Slice 47/155, Brain
FLAIR MR.
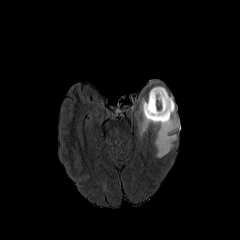
T1-weighted MR.
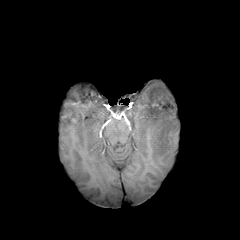
Post-contrast T1-weighted MR.
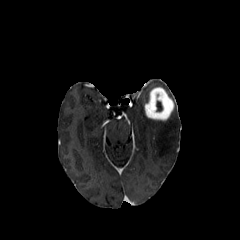
T2-weighted magnetic resonance.
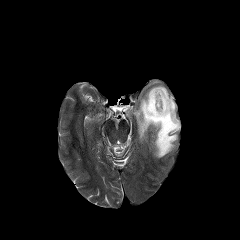
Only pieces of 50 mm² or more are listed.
The largest peritumoral edema region is at (135,93,180,157). The enhancing tumor is located at (144,87,174,120). The necrotic tumor core lies within (156,101,162,111).